FLAIR MR.
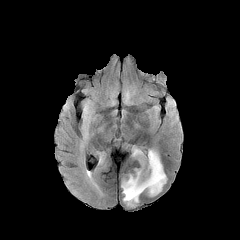
T1-weighted MR.
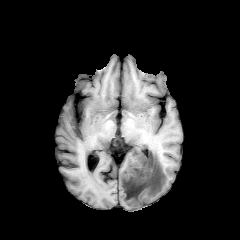
Post-contrast T1-weighted magnetic resonance.
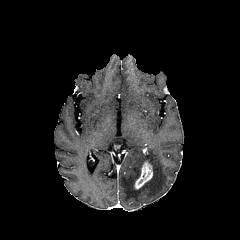
T2-weighted MR image.
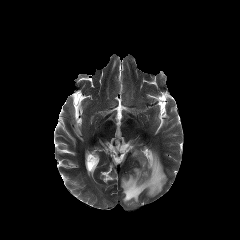
Image size 240x240 | Axial plane
Segmented structures:
- peritumoral edema: (121,147,166,205)
- enhancing tumor: (134,161,152,189)